Brain
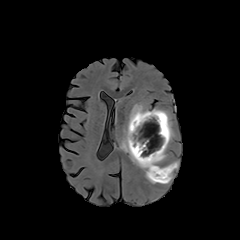
FLAIR MRI.
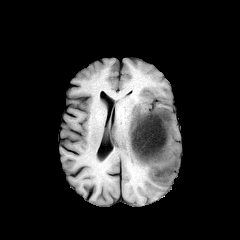
T1-weighted MR image of the same slice.
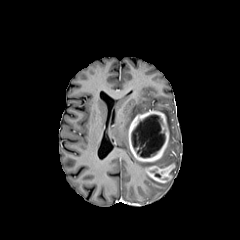
Post-contrast T1-weighted MR image.
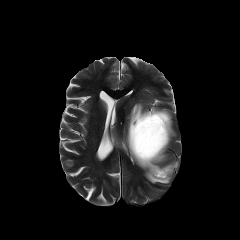
Same slice, T2-weighted MRI.
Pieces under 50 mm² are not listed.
enhancing tumor — <box>128,110,169,162</box>, <box>146,163,175,182</box>
peritumoral edema — <box>120,103,172,183</box>
necrotic tumor core — <box>132,115,165,157</box>